Axial view | Slice 62/155
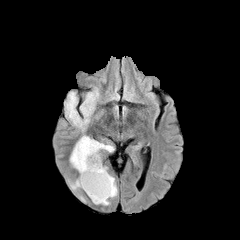
FLAIR MR.
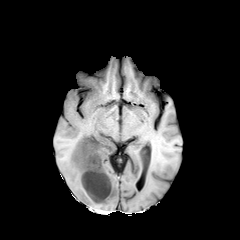
T1-weighted MRI of the same slice.
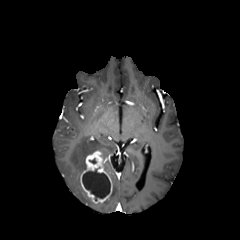
Post-contrast T1-weighted magnetic resonance.
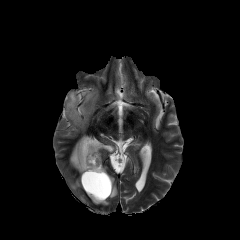
T2-weighted MR image.
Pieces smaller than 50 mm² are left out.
Annotated regions:
• enhancing tumor: (80,150,112,203)
• peritumoral edema: (70,135,114,175), (109,175,117,198), (70,178,81,190), (65,91,98,130)
• necrotic tumor core: (82,169,110,200)